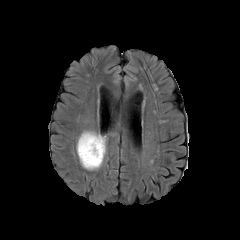
FLAIR MRI.
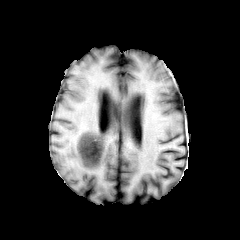
T1-weighted MR.
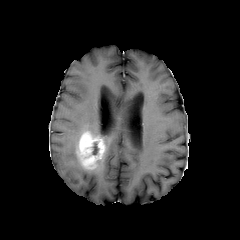
Post-contrast T1-weighted MR image.
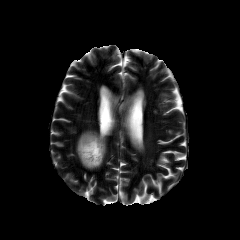
T2-weighted MR image.
Brain | Axial plane
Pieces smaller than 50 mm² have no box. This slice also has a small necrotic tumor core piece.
The enhancing tumor is located at [76, 131, 105, 169]. The 2 largest peritumoral edema regions are located at [94, 135, 106, 169], [76, 130, 101, 150].